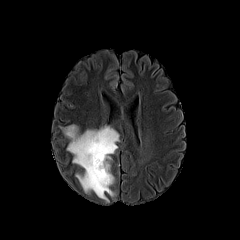
FLAIR MRI.
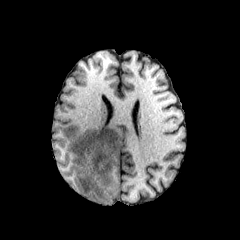
T1-weighted MR.
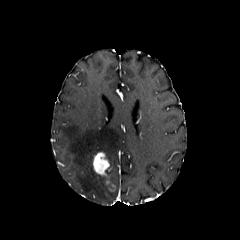
Post-contrast T1-weighted MR image of the same slice.
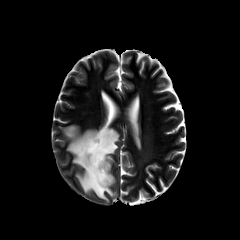
T2-weighted MR of the same slice.
Head
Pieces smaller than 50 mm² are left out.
peritumoral_edema:
  - (60,125,119,202)
enhancing_tumor:
  - (93,152,109,176)